FLAIR magnetic resonance.
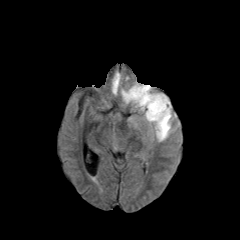
T1-weighted magnetic resonance.
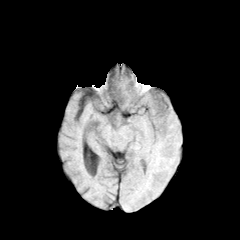
Post-contrast T1-weighted MR.
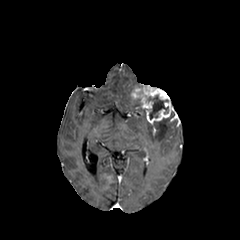
T2-weighted MRI.
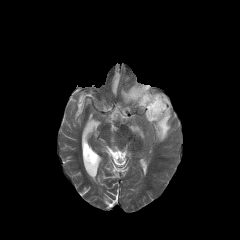
Axial slice; Brain
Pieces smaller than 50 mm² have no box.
<segmentation>
  <enhancing_tumor>[131, 85, 172, 123]</enhancing_tumor>
  <peritumoral_edema>[112, 73, 120, 94], [154, 112, 171, 141], [121, 84, 142, 107]</peritumoral_edema>
  <necrotic_tumor_core>[148, 95, 168, 119]</necrotic_tumor_core>
</segmentation>